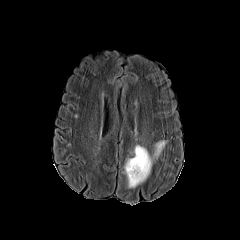
FLAIR MR.
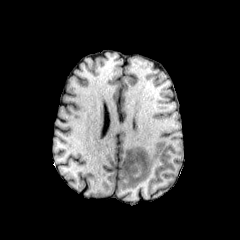
T1-weighted magnetic resonance of the same slice.
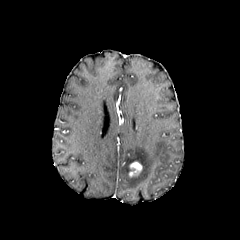
Post-contrast T1-weighted MR.
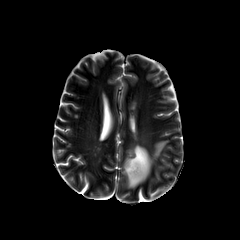
Same slice, T2-weighted MR.
Axial plane, Head
enhancing tumor: 128, 161, 142, 177 | peritumoral edema: 122, 140, 167, 188